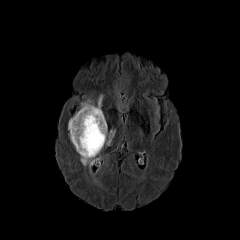
FLAIR MRI.
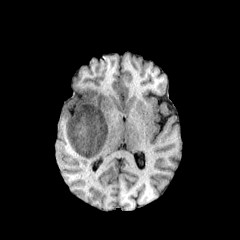
T1-weighted magnetic resonance of the same slice.
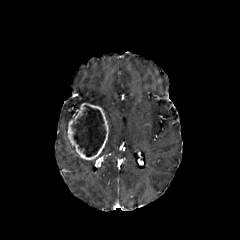
Same slice, post-contrast T1-weighted MRI.
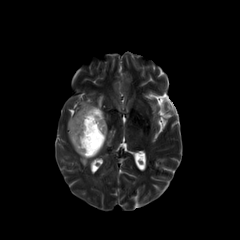
T2-weighted MR image.
Image size 240x240
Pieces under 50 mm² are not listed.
The necrotic tumor core is at [72, 106, 105, 156]. The enhancing tumor lies within [68, 103, 108, 160]. The 3 largest peritumoral edema regions are bounded by [97, 94, 103, 107], [106, 130, 115, 145], [80, 157, 98, 169].